240x240. Brain. Axial slice.
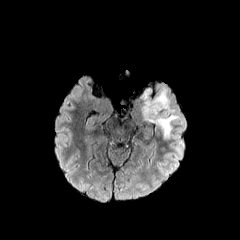
FLAIR MR.
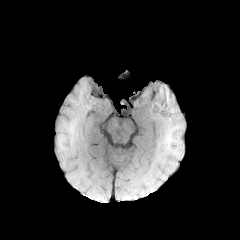
T1-weighted MR image of the same slice.
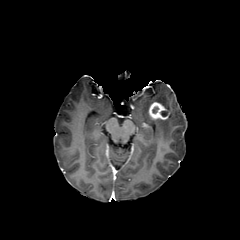
Same slice, post-contrast T1-weighted MR.
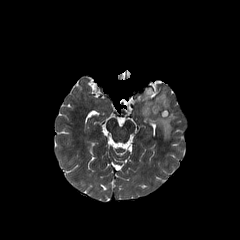
T2-weighted MR image.
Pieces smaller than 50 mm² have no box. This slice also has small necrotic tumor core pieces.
enhancing tumor at (148, 102, 169, 119)
peritumoral edema at (141, 88, 177, 139)